FLAIR MR.
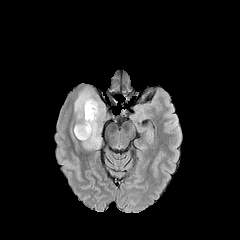
T1-weighted MR image.
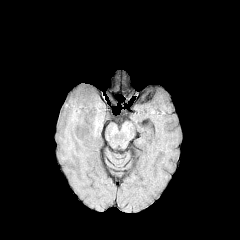
Post-contrast T1-weighted magnetic resonance.
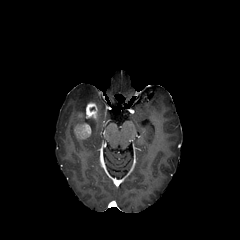
T2-weighted MR.
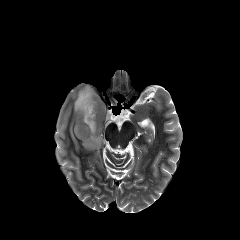
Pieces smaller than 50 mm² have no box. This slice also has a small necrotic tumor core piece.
{
  "enhancing_tumor": [
    "x1=74 y1=123 x2=91 y2=139",
    "x1=86 y1=102 x2=97 y2=118"
  ],
  "peritumoral_edema": [
    "x1=74 y1=86 x2=105 y2=150"
  ]
}